Slice 82/155; Axial plane; 240x240
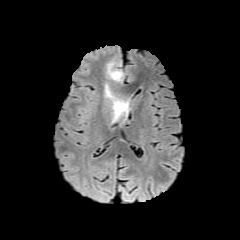
FLAIR MR image.
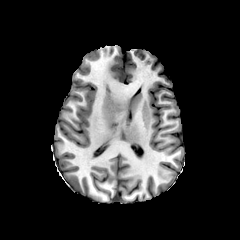
T1-weighted MR image of the same slice.
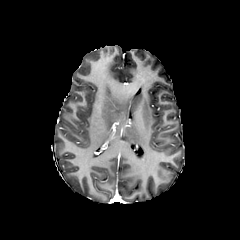
Post-contrast T1-weighted magnetic resonance.
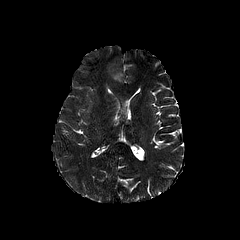
T2-weighted MR of the same slice.
peritumoral edema: left=107, top=63, right=123, bottom=81; left=105, top=86, right=128, bottom=121